FLAIR magnetic resonance.
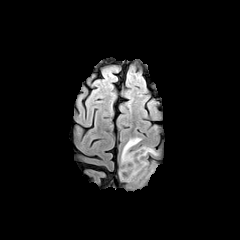
T1-weighted MR image.
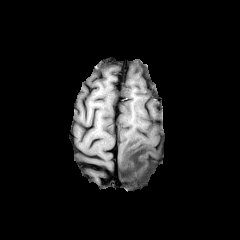
Post-contrast T1-weighted magnetic resonance.
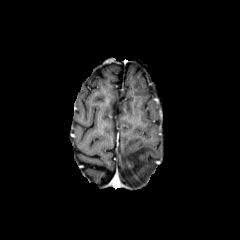
T2-weighted MR image.
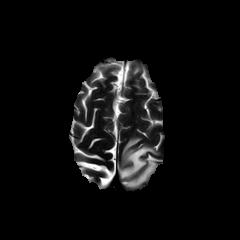
Head; 240x240
The peritumoral edema appears at <bbox>119, 137, 157, 186</bbox>.